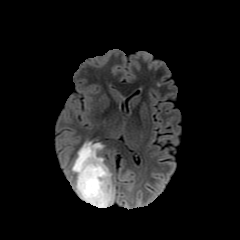
FLAIR MRI.
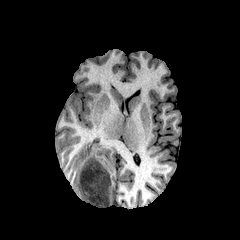
Same slice, T1-weighted MR.
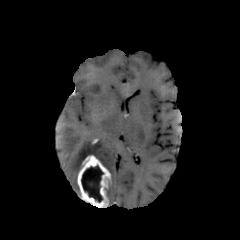
Post-contrast T1-weighted magnetic resonance.
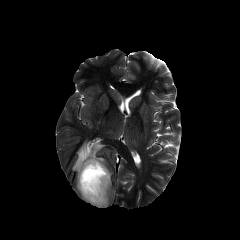
T2-weighted MRI.
Axial slice; Head
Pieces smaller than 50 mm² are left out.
enhancing tumor: 77, 155, 111, 207 | necrotic tumor core: 81, 166, 103, 202 | peritumoral edema: 74, 179, 80, 196; 108, 182, 115, 206; 72, 141, 109, 176